FLAIR MR.
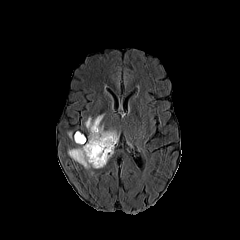
T1-weighted MRI.
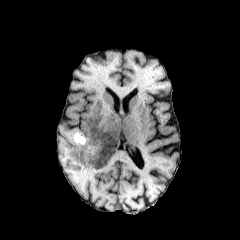
Post-contrast T1-weighted magnetic resonance.
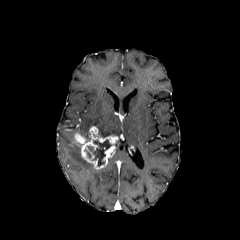
T2-weighted MRI.
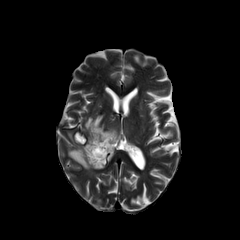
Head | Axial slice
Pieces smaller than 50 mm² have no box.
necrotic tumor core — <bbox>87, 140, 111, 166</bbox>
peritumoral edema — <bbox>68, 132, 93, 169</bbox>, <bbox>85, 115, 118, 136</bbox>
enhancing tumor — <bbox>81, 126, 118, 169</bbox>